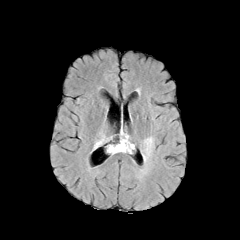
FLAIR MRI.
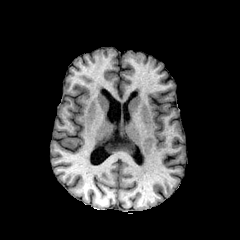
T1-weighted MR.
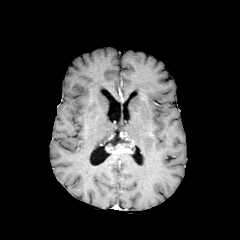
Post-contrast T1-weighted magnetic resonance.
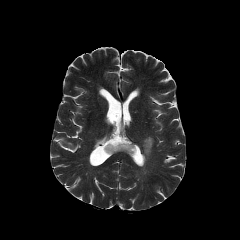
Same slice, T2-weighted MR.
Brain
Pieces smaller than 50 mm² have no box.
The 2 largest peritumoral edema regions are located at (89, 135, 109, 152), (141, 137, 153, 161). The largest necrotic tumor core region is at (106, 135, 131, 146). The largest enhancing tumor region is at (106, 143, 133, 153).